FLAIR MRI.
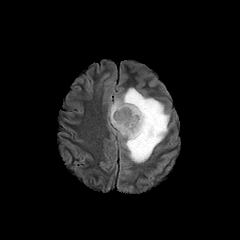
T1-weighted MR.
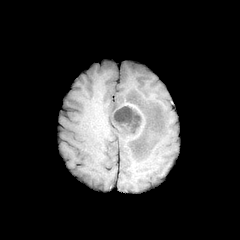
Post-contrast T1-weighted magnetic resonance.
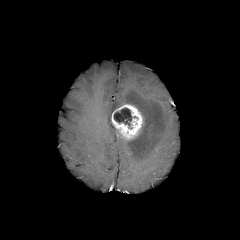
T2-weighted MR image.
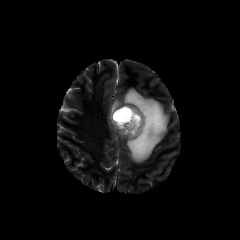
Axial slice, Image size 240x240
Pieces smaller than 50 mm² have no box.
enhancing_tumor:
  - x1=111 y1=104 x2=143 y2=139
necrotic_tumor_core:
  - x1=114 y1=108 x2=131 y2=125
peritumoral_edema:
  - x1=108 y1=87 x2=169 y2=163